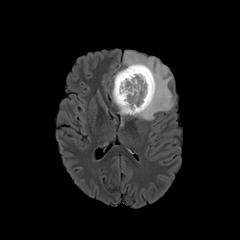
FLAIR MRI.
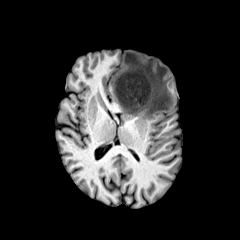
T1-weighted MR.
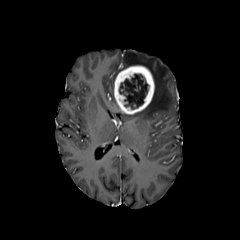
Same slice, post-contrast T1-weighted magnetic resonance.
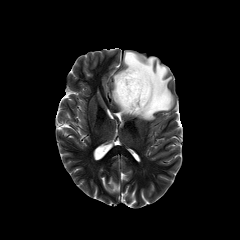
T2-weighted magnetic resonance.
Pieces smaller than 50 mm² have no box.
The largest enhancing tumor region appears at (114, 65, 154, 114). The necrotic tumor core lies within (119, 74, 148, 109). The largest peritumoral edema region lies within (112, 51, 173, 120).